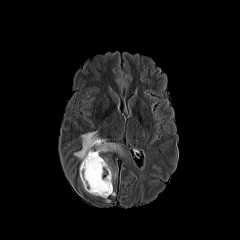
FLAIR magnetic resonance.
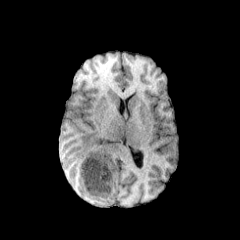
T1-weighted magnetic resonance.
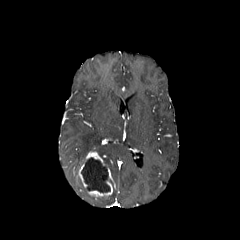
Post-contrast T1-weighted MR.
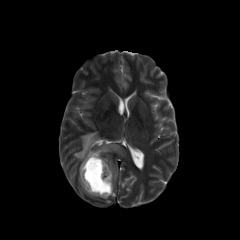
T2-weighted MR.
Brain; Axial slice
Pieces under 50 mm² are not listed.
The necrotic tumor core is bounded by [81,157,110,192]. The largest peritumoral edema region is bounded by [74,132,121,160]. The enhancing tumor is at [78,151,112,197].